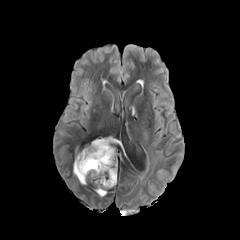
FLAIR magnetic resonance.
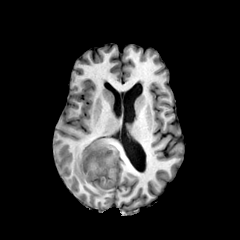
T1-weighted MR image of the same slice.
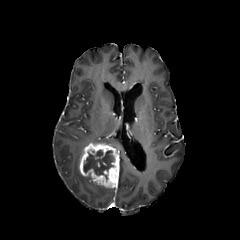
Post-contrast T1-weighted MRI.
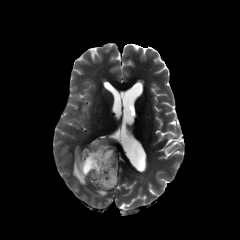
T2-weighted MRI of the same slice.
240x240; Head
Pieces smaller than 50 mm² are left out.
3 peritumoral edema regions are bounded by [92, 137, 119, 144], [96, 185, 106, 196], [73, 148, 86, 184]. The largest necrotic tumor core region is located at [83, 150, 114, 175]. The largest enhancing tumor region lies within [79, 142, 119, 188].